Axial slice; Head; Image covers 240 mm x 240 mm; Slice 55/155
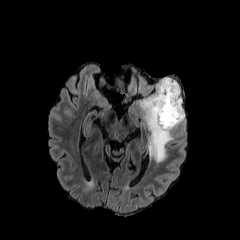
FLAIR MRI.
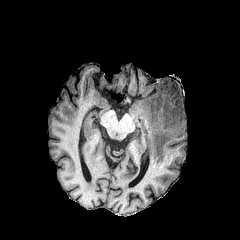
T1-weighted MR.
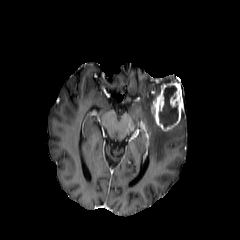
Same slice, post-contrast T1-weighted magnetic resonance.
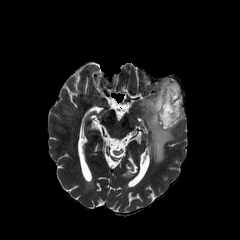
T2-weighted MRI.
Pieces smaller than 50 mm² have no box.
<segmentation>
  <necrotic_tumor_core>(left=159, top=85, right=178, bottom=127)</necrotic_tumor_core>
  <enhancing_tumor>(left=151, top=82, right=184, bottom=131)</enhancing_tumor>
  <peritumoral_edema>(left=139, top=77, right=185, bottom=162)</peritumoral_edema>
</segmentation>